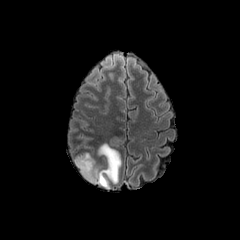
FLAIR MR.
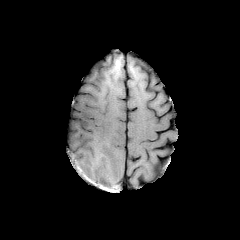
Same slice, T1-weighted MRI.
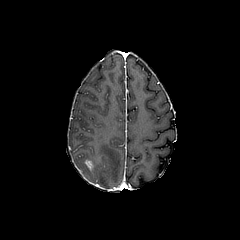
Post-contrast T1-weighted MR image.
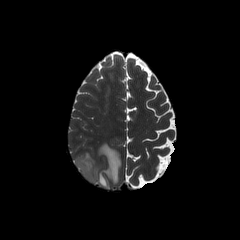
T2-weighted MRI of the same slice.
Head; Axial view
The peritumoral edema appears at <box>75,143,121,188</box>. The enhancing tumor is located at <box>84,159,93,170</box>.